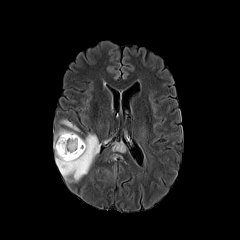
FLAIR MR.
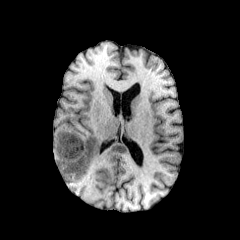
Same slice, T1-weighted magnetic resonance.
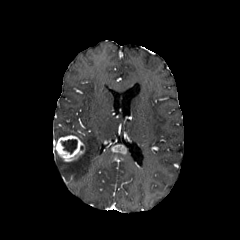
Post-contrast T1-weighted MR image.
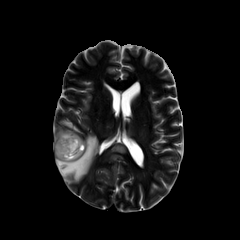
T2-weighted MRI.
Axial slice.
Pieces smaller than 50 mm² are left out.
{
  "necrotic_tumor_core": [
    "61, 139, 77, 153"
  ],
  "enhancing_tumor": [
    "53, 135, 84, 161",
    "112, 145, 125, 153"
  ],
  "peritumoral_edema": [
    "54, 129, 99, 182",
    "61, 120, 78, 130"
  ]
}